FLAIR MR image.
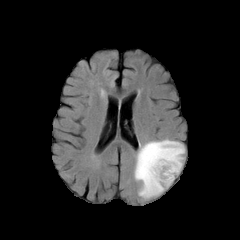
T1-weighted MR image.
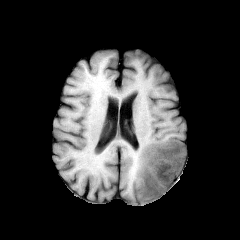
Post-contrast T1-weighted MR.
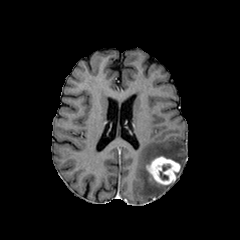
T2-weighted magnetic resonance.
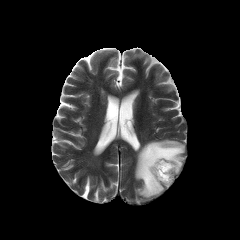
Axial slice
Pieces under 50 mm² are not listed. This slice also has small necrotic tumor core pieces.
peritumoral edema: bounding box 134,139,185,199
enhancing tumor: bounding box 146,156,180,185